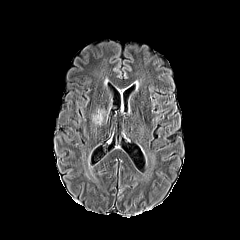
FLAIR MR image.
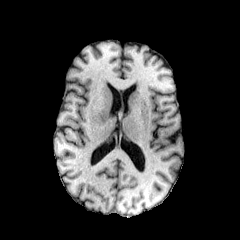
Same slice, T1-weighted magnetic resonance.
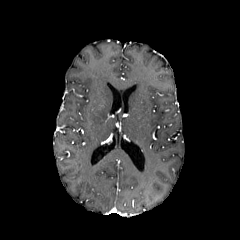
Post-contrast T1-weighted MR of the same slice.
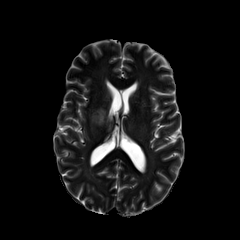
Same slice, T2-weighted magnetic resonance.
Brain. Image size 240x240.
Annotated regions:
* peritumoral edema: box=[92, 109, 104, 124]